Head. Slice index 98. 240x240. Image width 240 mm.
FLAIR MRI.
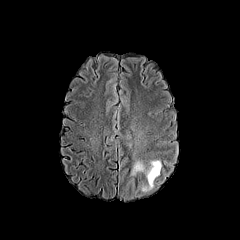
T1-weighted MR image.
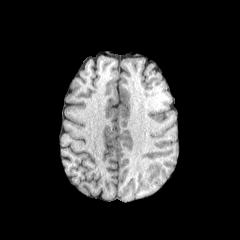
Post-contrast T1-weighted MR image.
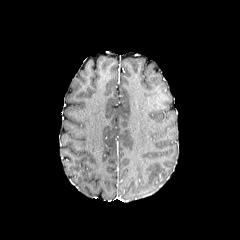
T2-weighted magnetic resonance.
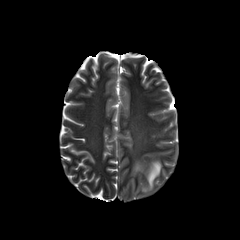
peritumoral edema: 143:161:161:190, 132:162:144:174